Axial slice. 240x240 px.
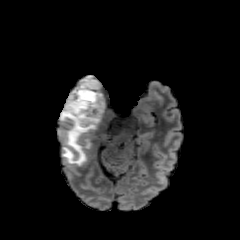
FLAIR MR image.
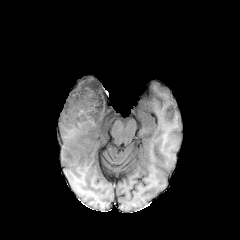
Same slice, T1-weighted MRI.
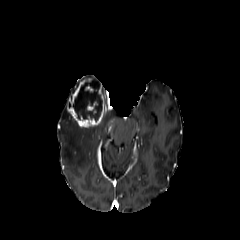
Post-contrast T1-weighted MRI.
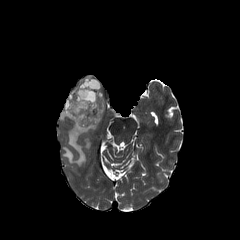
T2-weighted MR image.
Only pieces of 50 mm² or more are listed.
The largest peritumoral edema region lies within rect(60, 86, 115, 165). The 2 largest enhancing tumor regions are bounded by rect(66, 76, 106, 127); rect(87, 102, 97, 110). The largest necrotic tumor core region appears at rect(73, 79, 102, 121).